Slice 65 of 155. Axial view. Image width 240 mm, 1.00 mm slice spacing. Brain.
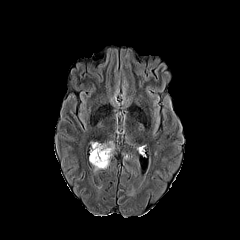
FLAIR MRI.
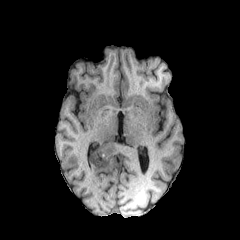
T1-weighted magnetic resonance of the same slice.
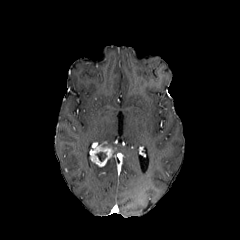
Post-contrast T1-weighted magnetic resonance.
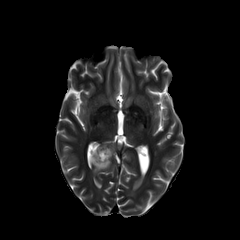
T2-weighted MR.
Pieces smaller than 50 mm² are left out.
enhancing tumor: [90, 144, 113, 166]
peritumoral edema: [91, 159, 109, 172]
necrotic tumor core: [96, 152, 106, 161]